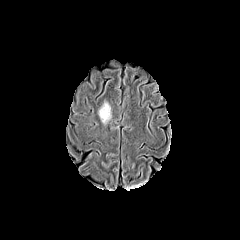
FLAIR magnetic resonance.
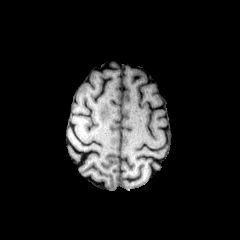
T1-weighted MR.
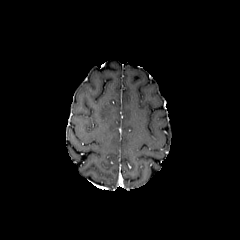
Post-contrast T1-weighted MR of the same slice.
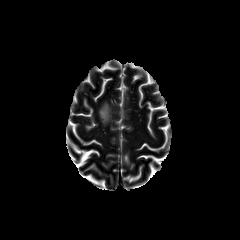
T2-weighted MR.
Findings:
- peritumoral edema: l=99, t=102, r=111, b=123